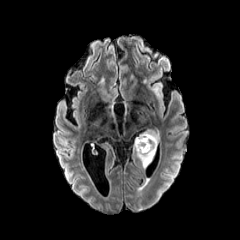
FLAIR MRI.
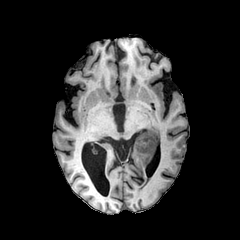
T1-weighted MRI.
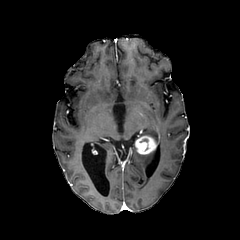
Post-contrast T1-weighted MR image of the same slice.
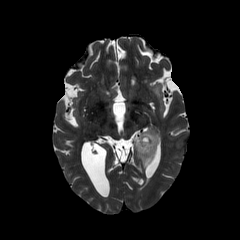
T2-weighted magnetic resonance.
Head; Axial slice
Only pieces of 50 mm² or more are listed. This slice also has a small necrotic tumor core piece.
{
  "enhancing_tumor": [
    "bbox(135, 135, 156, 154)"
  ],
  "peritumoral_edema": [
    "bbox(134, 141, 156, 167)",
    "bbox(139, 129, 160, 145)"
  ]
}